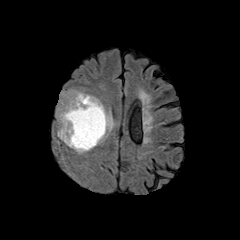
FLAIR MR.
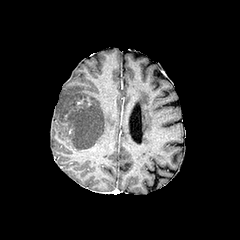
T1-weighted MR of the same slice.
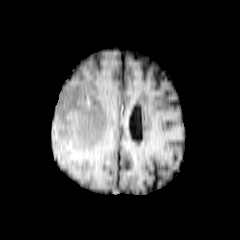
Post-contrast T1-weighted magnetic resonance of the same slice.
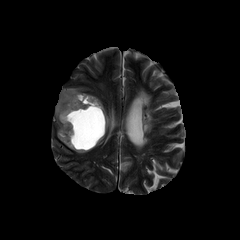
T2-weighted magnetic resonance.
Axial view
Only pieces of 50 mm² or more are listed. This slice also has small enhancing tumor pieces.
Annotated regions:
- peritumoral edema: 56 88 114 153
- necrotic tumor core: 65 105 104 148